FLAIR MR image.
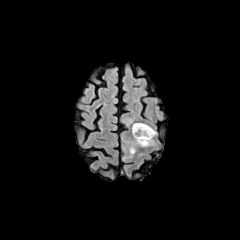
T1-weighted MRI.
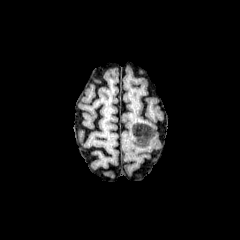
Post-contrast T1-weighted MRI.
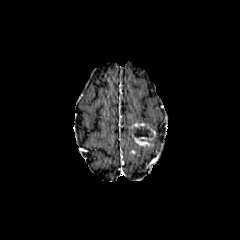
T2-weighted MR image.
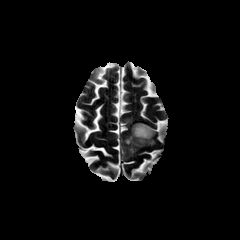
Axial slice
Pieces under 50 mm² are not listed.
enhancing_tumor:
  - bbox(131, 123, 156, 146)
necrotic_tumor_core:
  - bbox(133, 127, 152, 137)
peritumoral_edema:
  - bbox(125, 137, 137, 156)